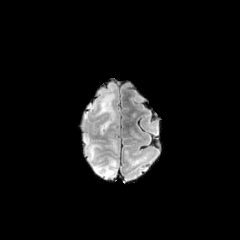
FLAIR MRI.
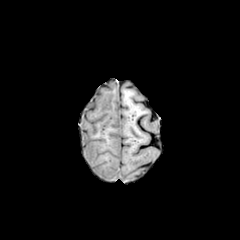
T1-weighted MR image.
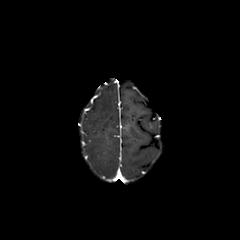
Post-contrast T1-weighted magnetic resonance.
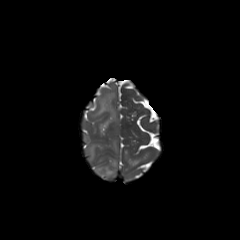
Same slice, T2-weighted MR.
240x240
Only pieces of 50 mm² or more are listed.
The 3 largest peritumoral edema regions are bounded by bbox(96, 92, 115, 133); bbox(84, 136, 100, 161); bbox(94, 159, 117, 178).